FLAIR MR.
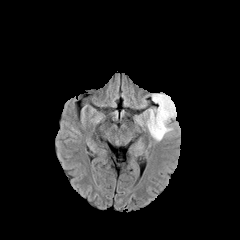
T1-weighted magnetic resonance.
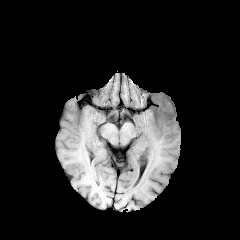
Post-contrast T1-weighted MR.
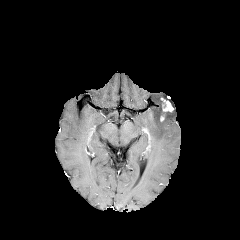
T2-weighted MR image.
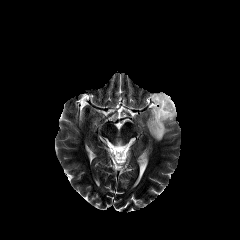
Axial plane
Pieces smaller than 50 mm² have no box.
<segmentation>
  <peritumoral_edema>[x1=137, y1=93, x2=176, y2=141]</peritumoral_edema>
  <enhancing_tumor>[x1=161, y1=98, x2=173, y2=111]</enhancing_tumor>
</segmentation>